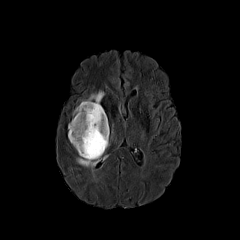
FLAIR MR image.
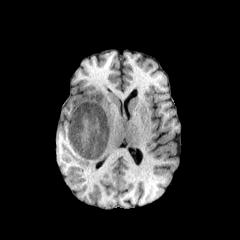
T1-weighted MR image.
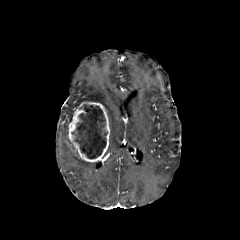
Post-contrast T1-weighted magnetic resonance.
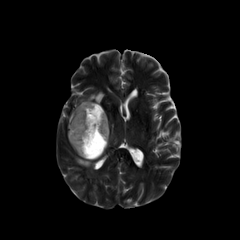
T2-weighted MR of the same slice.
Head | Axial view
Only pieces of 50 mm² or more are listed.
peritumoral edema: box=[81, 91, 104, 102]; box=[76, 156, 97, 168]
enhancing tumor: box=[68, 101, 109, 162]
necrotic tumor core: box=[75, 105, 106, 158]